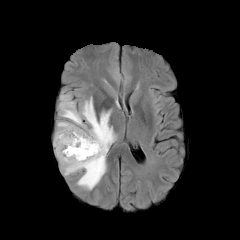
FLAIR MRI.
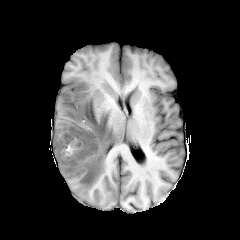
Same slice, T1-weighted MRI.
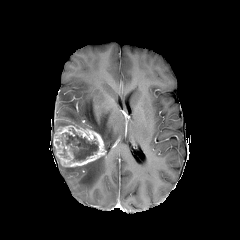
Same slice, post-contrast T1-weighted MRI.
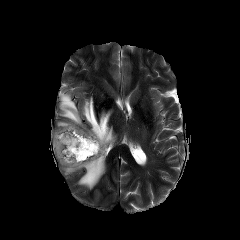
T2-weighted magnetic resonance.
peritumoral edema: bounding box l=57, t=93, r=116, b=190
necrotic tumor core: bounding box l=64, t=135, r=98, b=160
enhancing tumor: bounding box l=53, t=125, r=106, b=166